FLAIR MR.
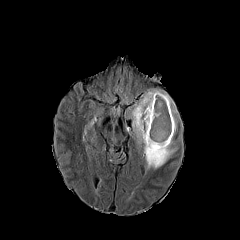
T1-weighted MR image.
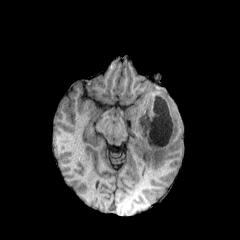
Post-contrast T1-weighted MRI.
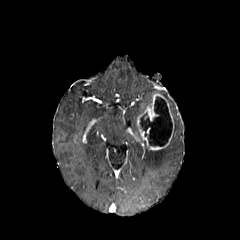
T2-weighted MRI.
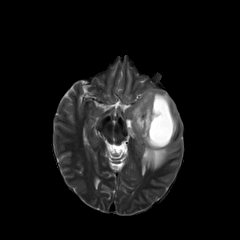
Brain | 240x240
enhancing tumor: bounding box rect(136, 93, 174, 150)
peritumoral edema: bounding box rect(130, 89, 177, 169)
necrotic tumor core: bounding box rect(140, 96, 172, 146)